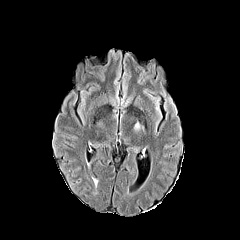
FLAIR magnetic resonance.
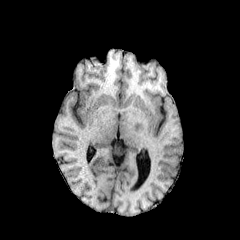
Same slice, T1-weighted magnetic resonance.
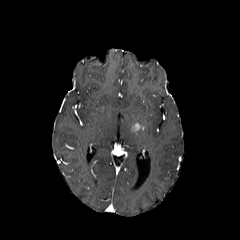
Same slice, post-contrast T1-weighted MRI.
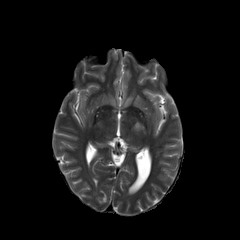
Same slice, T2-weighted MR.
Axial view
enhancing tumor: bbox(133, 123, 143, 130)